FLAIR MRI.
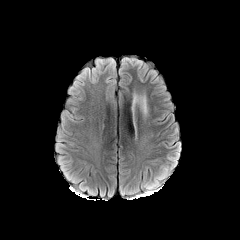
T1-weighted MRI.
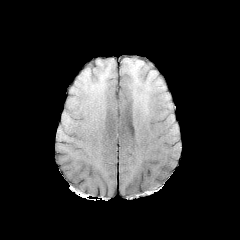
Post-contrast T1-weighted MRI.
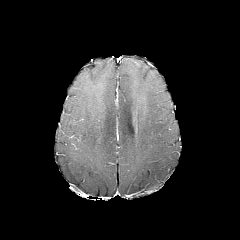
T2-weighted MR image.
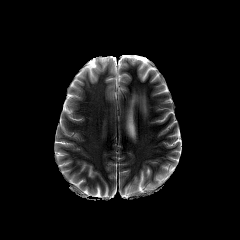
Axial plane
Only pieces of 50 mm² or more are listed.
peritumoral edema — <bbox>141, 97, 146, 113</bbox>